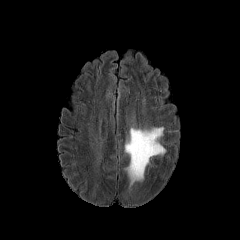
FLAIR magnetic resonance.
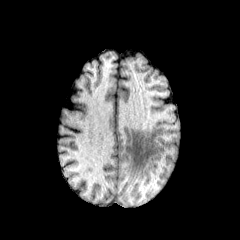
T1-weighted magnetic resonance.
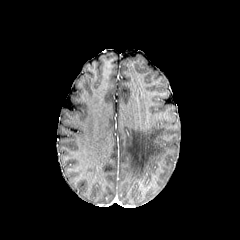
Same slice, post-contrast T1-weighted MRI.
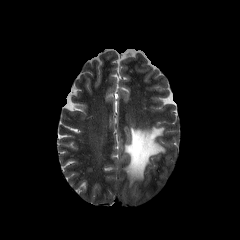
T2-weighted MRI.
Axial view, Image size 240x240, Brain
The peritumoral edema appears at box(125, 127, 165, 184).